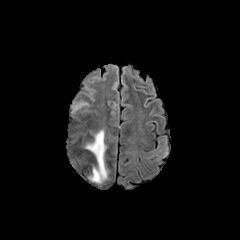
FLAIR MR image.
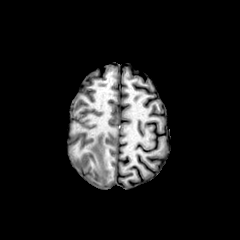
T1-weighted MR.
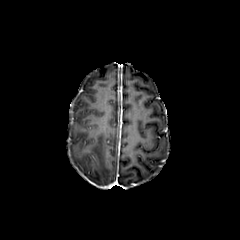
Post-contrast T1-weighted MR of the same slice.
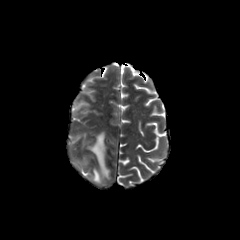
T2-weighted magnetic resonance.
Brain; Axial slice
peritumoral edema = x1=84, y1=130, x2=108, y2=183